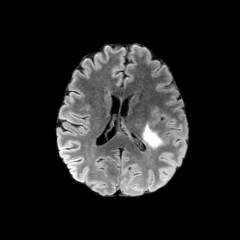
FLAIR magnetic resonance.
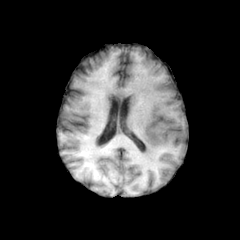
Same slice, T1-weighted magnetic resonance.
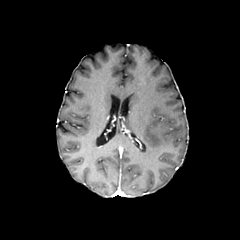
Post-contrast T1-weighted MRI.
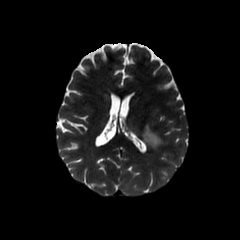
T2-weighted MR.
240x240, Axial view
peritumoral edema: x1=143 y1=124 x2=163 y2=147